FLAIR MR image.
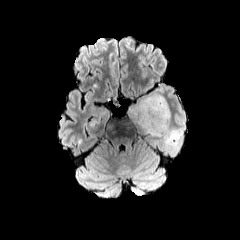
T1-weighted MR.
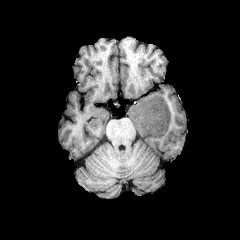
Post-contrast T1-weighted MRI.
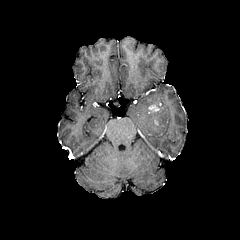
T2-weighted MR.
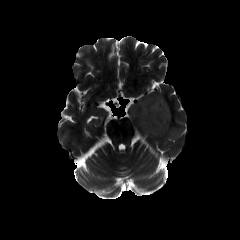
240x240
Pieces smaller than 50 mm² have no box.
enhancing tumor = [148, 98, 162, 113]
peritumoral edema = [132, 93, 169, 136]